FLAIR MRI.
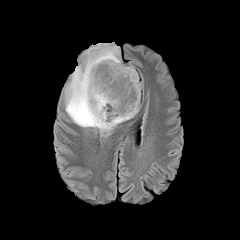
T1-weighted magnetic resonance.
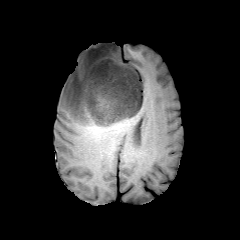
Post-contrast T1-weighted MR.
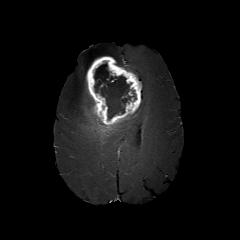
T2-weighted magnetic resonance.
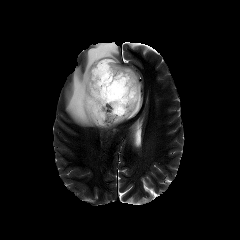
240x240 px
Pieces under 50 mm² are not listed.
<segmentation>
  <enhancing_tumor>86, 56, 141, 127</enhancing_tumor>
  <peritumoral_edema>65, 43, 139, 132</peritumoral_edema>
  <necrotic_tumor_core>94, 62, 131, 119</necrotic_tumor_core>
</segmentation>